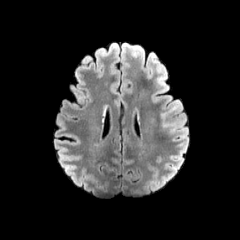
FLAIR MRI.
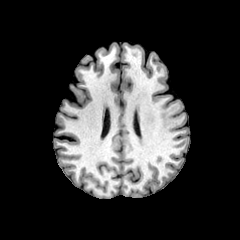
T1-weighted magnetic resonance of the same slice.
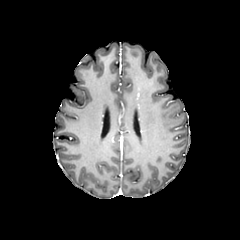
Post-contrast T1-weighted MR image.
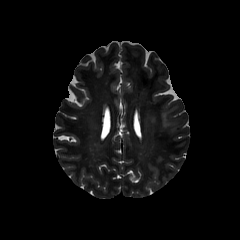
T2-weighted MRI of the same slice.
Brain; 240x240
{
  "peritumoral_edema": [
    "161 107 176 127"
  ]
}